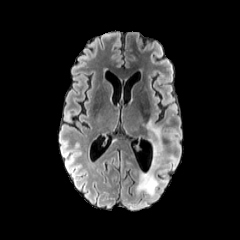
FLAIR MR.
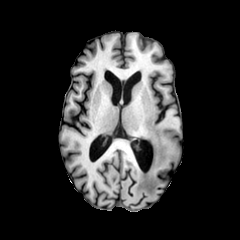
T1-weighted magnetic resonance.
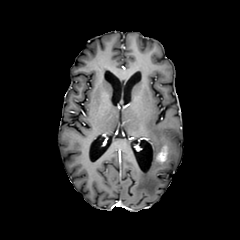
Post-contrast T1-weighted magnetic resonance.
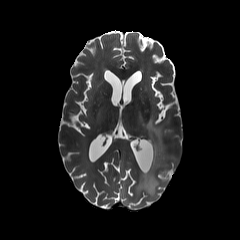
T2-weighted MRI.
Brain, Image size 240x240
enhancing tumor = {"x1": 156, "y1": 145, "x2": 167, "y2": 162}
peritumoral edema = {"x1": 137, "y1": 120, "x2": 164, "y2": 195}, {"x1": 167, "y1": 155, "x2": 177, "y2": 162}